FLAIR magnetic resonance.
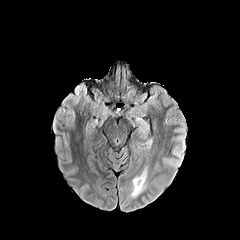
T1-weighted magnetic resonance.
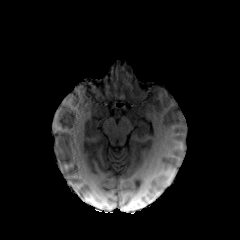
Post-contrast T1-weighted MR image.
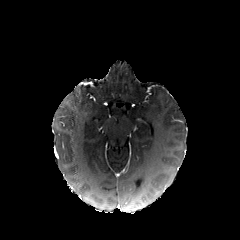
T2-weighted MR.
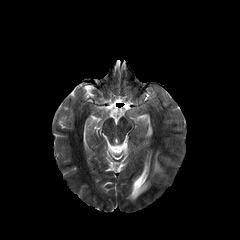
Head. Axial slice.
Findings:
- peritumoral edema: [130,165,148,199]